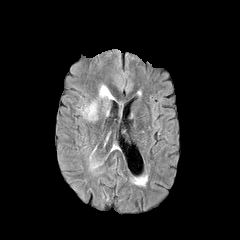
FLAIR MR image.
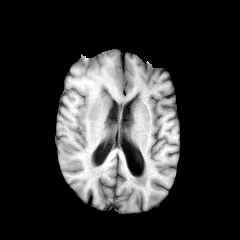
Same slice, T1-weighted MR image.
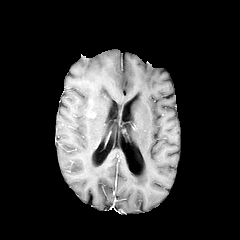
Post-contrast T1-weighted MR.
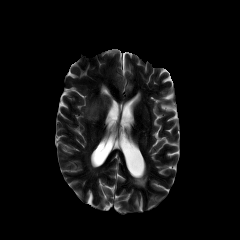
Same slice, T2-weighted MR image.
Brain. Axial view.
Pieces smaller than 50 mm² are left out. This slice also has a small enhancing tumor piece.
peritumoral edema at 99 85 113 99, 82 102 97 120